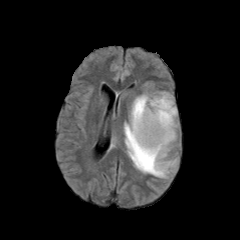
FLAIR MR.
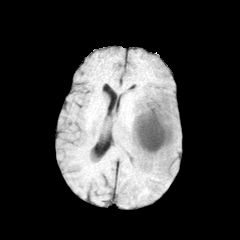
T1-weighted MR image.
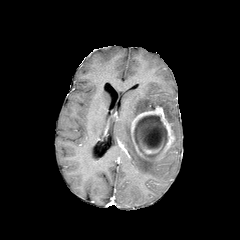
Post-contrast T1-weighted MR of the same slice.
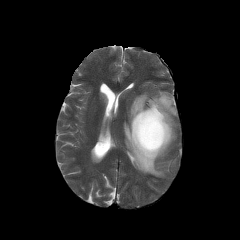
T2-weighted MRI of the same slice.
{
  "peritumoral_edema": [
    "124:91:177:177"
  ],
  "enhancing_tumor": [
    "131:105:174:159"
  ],
  "necrotic_tumor_core": [
    "134:115:167:157"
  ]
}